Head | Axial plane | Image width 240 mm | Image size 240x240
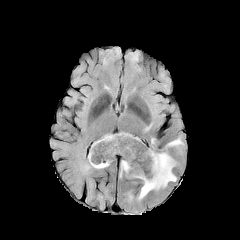
FLAIR magnetic resonance.
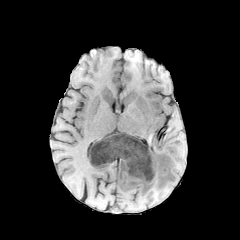
Same slice, T1-weighted magnetic resonance.
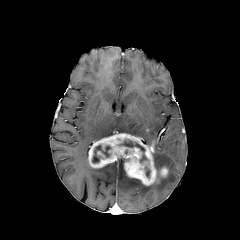
Post-contrast T1-weighted MRI.
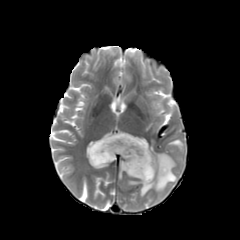
T2-weighted MR.
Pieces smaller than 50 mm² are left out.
The 2 largest necrotic tumor core regions are located at [x1=92, y1=145, x2=110, y2=163], [x1=120, y1=141, x2=144, y2=151]. 2 enhancing tumor regions are bounded by [x1=161, y1=167, x2=168, y2=177], [x1=88, y1=133, x2=156, y2=185]. The 3 largest peritumoral edema regions are located at [x1=138, y1=150, x2=176, y2=199], [x1=167, y1=139, x2=181, y2=145], [x1=119, y1=159, x2=124, y2=178].